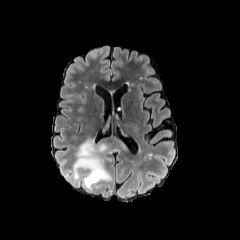
FLAIR MRI.
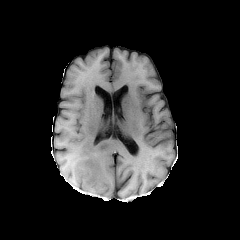
T1-weighted MR.
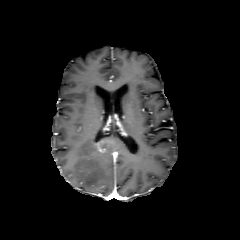
Post-contrast T1-weighted MR.
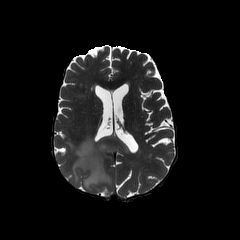
T2-weighted MRI.
Brain. Axial plane.
<segmentation>
  <peritumoral_edema>(73,137,126,189)</peritumoral_edema>
  <enhancing_tumor>(96,143,107,152)</enhancing_tumor>
</segmentation>